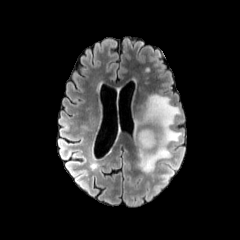
FLAIR MR image.
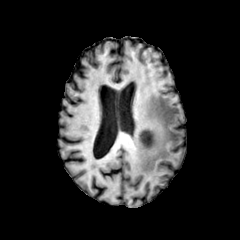
Same slice, T1-weighted MRI.
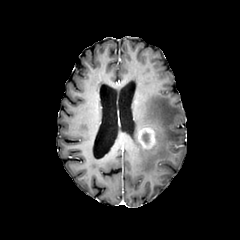
Post-contrast T1-weighted magnetic resonance.
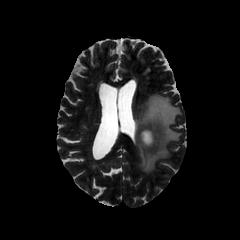
T2-weighted magnetic resonance.
Axial view, 240x240 px
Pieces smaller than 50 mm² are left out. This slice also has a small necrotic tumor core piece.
peritumoral edema: bounding box box(134, 94, 181, 172)
enhancing tumor: bounding box box(137, 127, 156, 149)